FLAIR MRI.
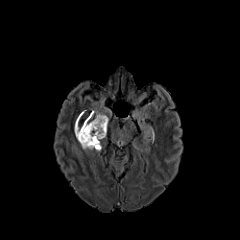
T1-weighted MR.
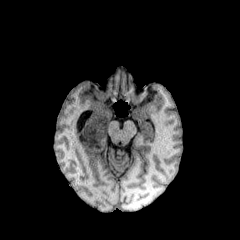
Post-contrast T1-weighted magnetic resonance.
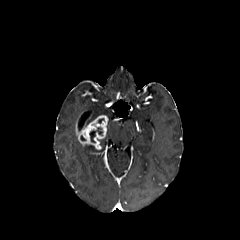
T2-weighted magnetic resonance.
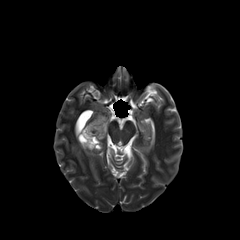
240x240 | Axial slice
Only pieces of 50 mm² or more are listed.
enhancing tumor: [x1=75, y1=115, x2=107, y2=149] | peritumoral edema: [x1=84, y1=111, x2=104, y2=124], [x1=76, y1=116, x2=83, y2=131], [x1=80, y1=144, x2=94, y2=150] | necrotic tumor core: [x1=89, y1=127, x2=102, y2=142]